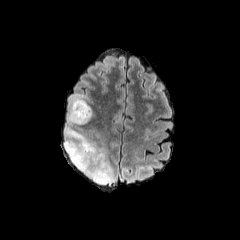
FLAIR MR.
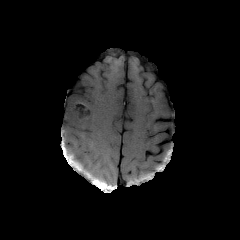
T1-weighted magnetic resonance of the same slice.
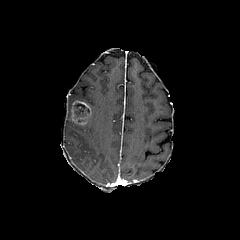
Post-contrast T1-weighted MR.
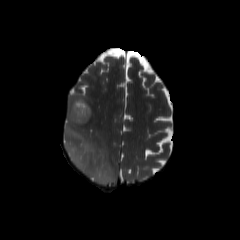
T2-weighted MR.
Image size 240x240 | Head
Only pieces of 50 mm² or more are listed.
peritumoral edema: box(64, 126, 115, 185); box(67, 95, 95, 124) | necrotic tumor core: box(74, 103, 89, 118) | enhancing tumor: box(71, 100, 91, 124)